Brain | Image covers 240 mm x 240 mm | 240x240
FLAIR magnetic resonance.
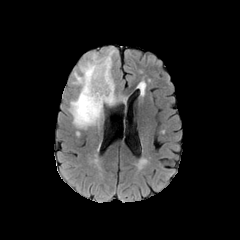
T1-weighted MR.
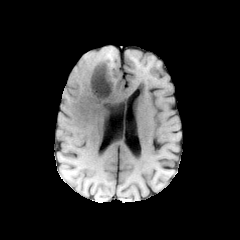
Post-contrast T1-weighted MR image.
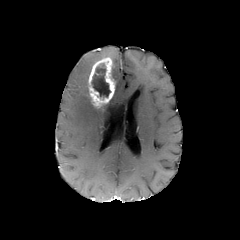
T2-weighted MR.
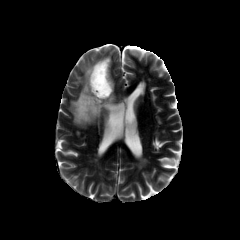
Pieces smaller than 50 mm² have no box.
The 2 largest peritumoral edema regions appear at [107,93,126,106], [69,48,115,128]. The enhancing tumor is at [87,57,114,108]. The necrotic tumor core is at [92,64,110,96].